Axial plane. Slice 105/155. Brain.
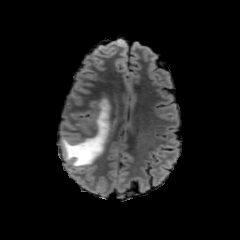
FLAIR magnetic resonance.
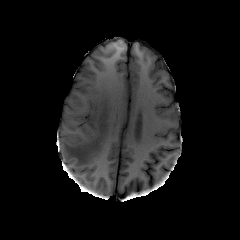
T1-weighted MR.
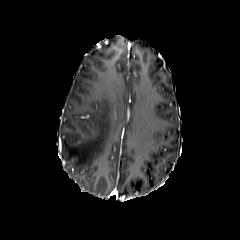
Post-contrast T1-weighted magnetic resonance of the same slice.
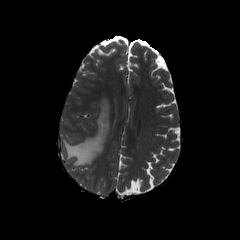
T2-weighted MR.
The peritumoral edema is bounded by (62, 99, 109, 167).